FLAIR MR image.
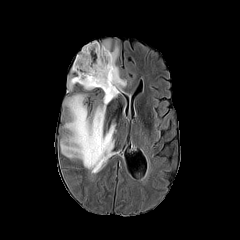
T1-weighted MR.
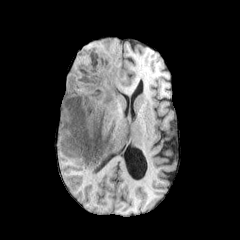
Post-contrast T1-weighted MRI.
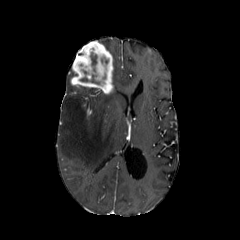
T2-weighted MR.
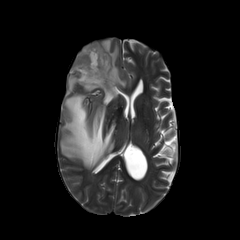
Head, Axial view, 240x240 px
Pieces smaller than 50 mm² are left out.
{"peritumoral_edema": ["l=101, t=40, r=126, b=90", "l=60, t=87, r=119, b=170", "l=67, t=76, r=73, b=92"], "necrotic_tumor_core": ["l=91, t=53, r=96, b=65"], "enhancing_tumor": ["l=70, t=41, r=113, b=94"]}